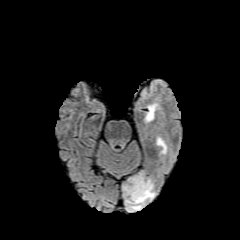
FLAIR MR.
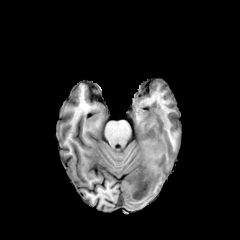
Same slice, T1-weighted MR image.
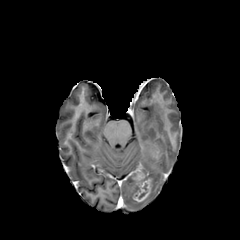
Same slice, post-contrast T1-weighted MR image.
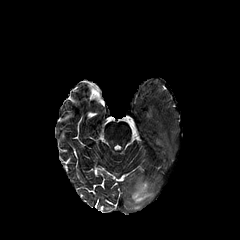
T2-weighted magnetic resonance.
Head, 240x240
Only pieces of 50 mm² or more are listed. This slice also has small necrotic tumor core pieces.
Findings:
* peritumoral edema: <bbox>123, 177, 155, 210</bbox>, <bbox>145, 104, 157, 121</bbox>, <bbox>156, 137, 166, 153</bbox>
* enhancing tumor: <bbox>133, 172, 151, 201</bbox>